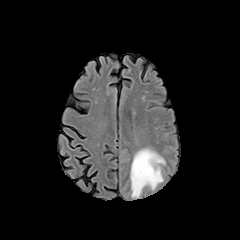
FLAIR MR.
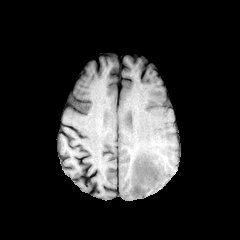
Same slice, T1-weighted MR.
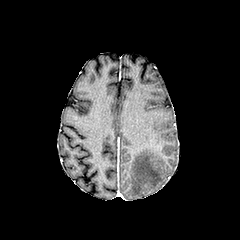
Post-contrast T1-weighted MR image.
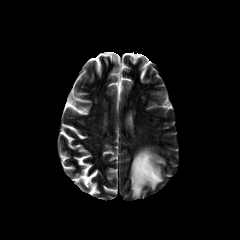
T2-weighted MRI.
Axial plane
{
  "peritumoral_edema": [
    "130, 148, 165, 197"
  ]
}